Slice 75/155
FLAIR magnetic resonance.
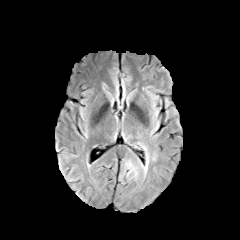
T1-weighted MRI.
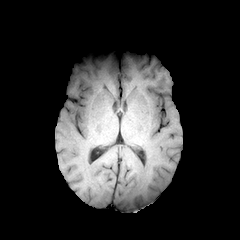
Post-contrast T1-weighted magnetic resonance.
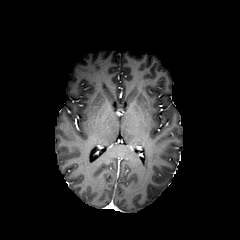
T2-weighted MR image.
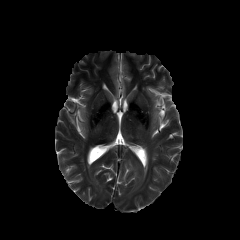
peritumoral edema: bounding box box=[143, 155, 148, 176]; box=[126, 163, 137, 176]